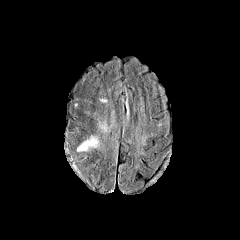
FLAIR MRI.
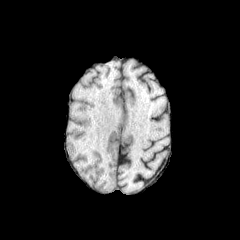
T1-weighted MRI.
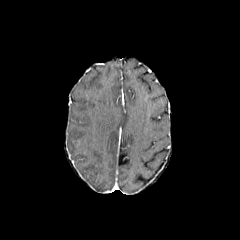
Same slice, post-contrast T1-weighted MR.
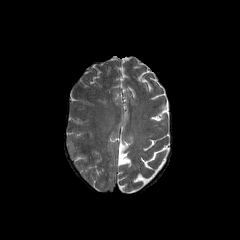
T2-weighted MR.
Annotated regions:
* peritumoral edema: box=[78, 141, 93, 150]